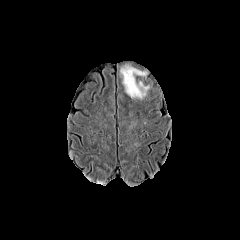
FLAIR MR.
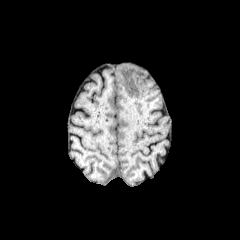
T1-weighted MR image.
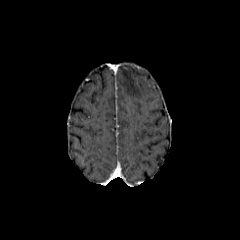
Same slice, post-contrast T1-weighted MRI.
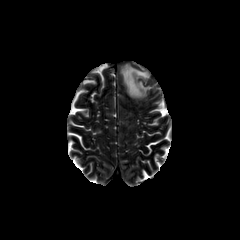
T2-weighted MR.
240x240
peritumoral edema: <box>120,65,149,98</box>